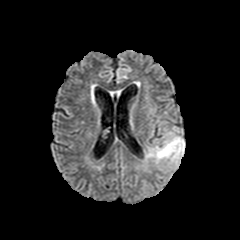
FLAIR MRI.
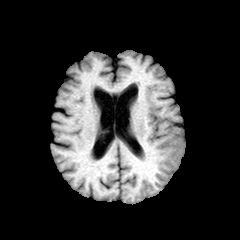
T1-weighted magnetic resonance.
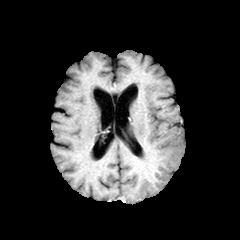
Post-contrast T1-weighted MRI.
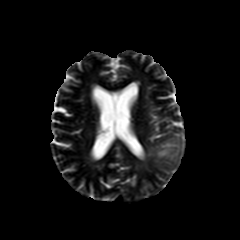
Same slice, T2-weighted MR.
240x240 px | Axial view
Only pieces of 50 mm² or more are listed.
Findings:
- peritumoral edema: bbox(148, 132, 184, 166)